Axial slice. Head. Image width 240 mm, 1.00 mm slice spacing.
FLAIR MRI.
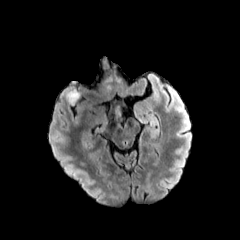
T1-weighted MR.
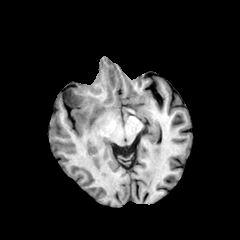
Post-contrast T1-weighted magnetic resonance.
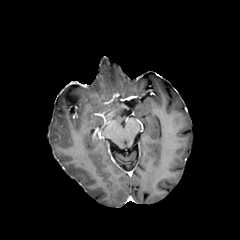
T2-weighted MR image.
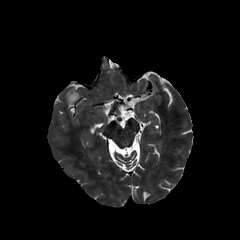
The peritumoral edema is bounded by left=66, top=90, right=79, bottom=104.